FLAIR MRI.
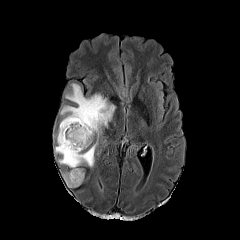
T1-weighted MR.
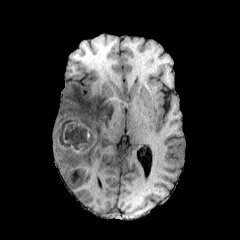
Post-contrast T1-weighted MR image.
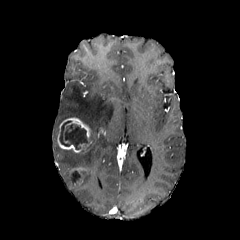
T2-weighted MRI.
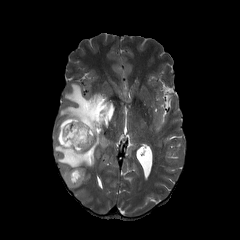
Axial plane. Brain. 240x240 px.
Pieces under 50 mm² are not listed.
<segmentation>
  <necrotic_tumor_core>[73,170,81,179], [59,121,91,149]</necrotic_tumor_core>
  <enhancing_tumor>[57,117,90,152]</enhancing_tumor>
  <peritumoral_edema>[63,168,86,187], [54,140,97,169], [60,83,116,140]</peritumoral_edema>
</segmentation>